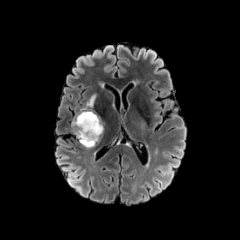
FLAIR MR.
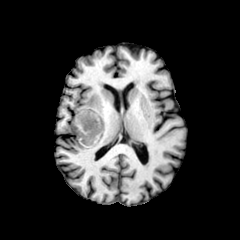
T1-weighted magnetic resonance.
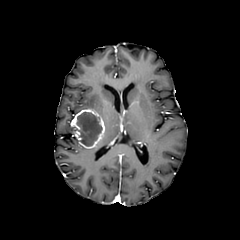
Post-contrast T1-weighted MRI.
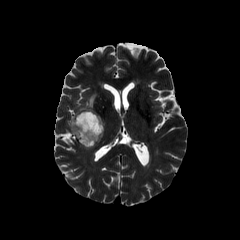
T2-weighted MRI.
240x240 px. Head.
peritumoral edema: x1=80 y1=94 x2=96 y2=110
necrotic tumor core: x1=76 y1=112 x2=102 y2=146
enhancing tumor: x1=71 y1=109 x2=104 y2=148